FLAIR magnetic resonance.
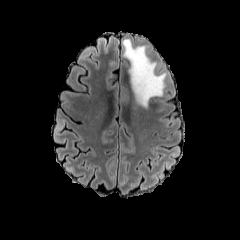
T1-weighted MRI.
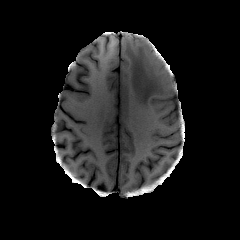
Post-contrast T1-weighted MR.
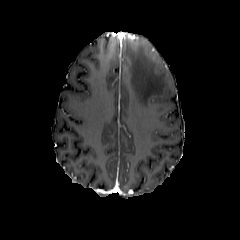
T2-weighted magnetic resonance.
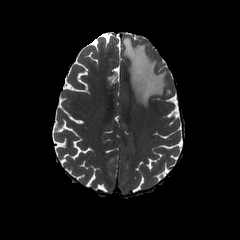
Axial view
<segmentation>
  <peritumoral_edema>[x1=122, y1=35, x2=167, y2=107]</peritumoral_edema>
</segmentation>